FLAIR MR.
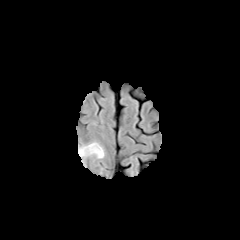
T1-weighted MR image.
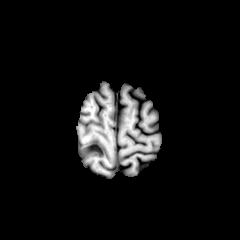
Post-contrast T1-weighted MRI.
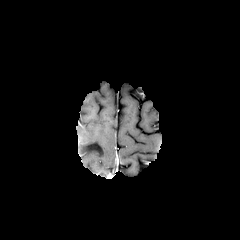
T2-weighted MRI.
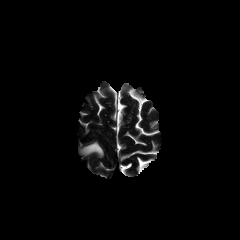
Brain. Axial view.
Segmented structures:
• peritumoral edema: (79, 142, 104, 158)